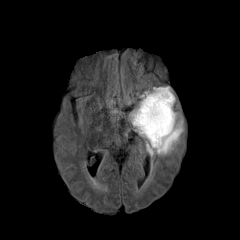
FLAIR magnetic resonance.
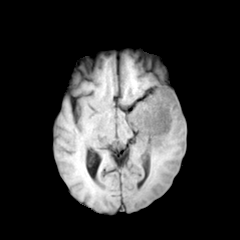
T1-weighted MRI.
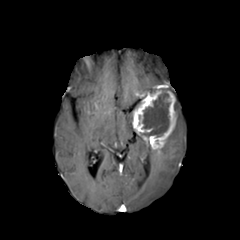
Post-contrast T1-weighted magnetic resonance.
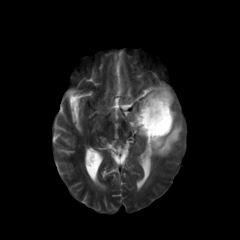
T2-weighted MR of the same slice.
Brain; Axial plane; 240x240 px
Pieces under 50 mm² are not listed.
The enhancing tumor is bounded by x1=132, y1=85, x2=176, y2=151. The largest peritumoral edema region lies within x1=146, y1=112, x2=183, y2=156. The largest necrotic tumor core region is located at x1=142, y1=92, x2=170, y2=136.